FLAIR MR image.
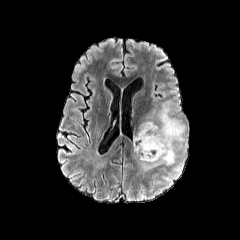
T1-weighted magnetic resonance.
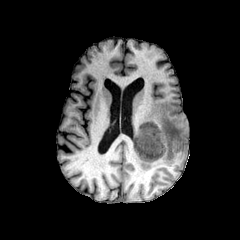
Post-contrast T1-weighted MR image.
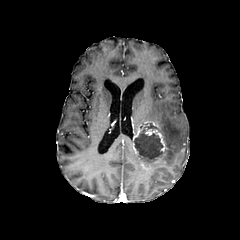
T2-weighted MR image.
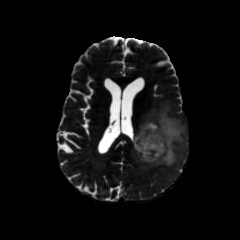
Brain. Axial slice. 240x240 px.
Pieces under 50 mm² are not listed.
necrotic tumor core: (x1=134, y1=123, x2=163, y2=158) | enhancing tumor: (x1=133, y1=120, x2=166, y2=167) | peritumoral edema: (x1=137, y1=101, x2=187, y2=170)